FLAIR MR image.
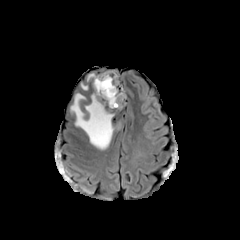
T1-weighted MRI.
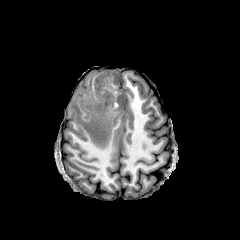
Post-contrast T1-weighted MRI.
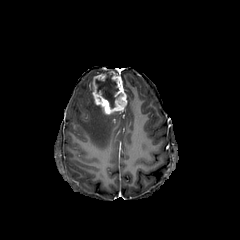
T2-weighted MRI.
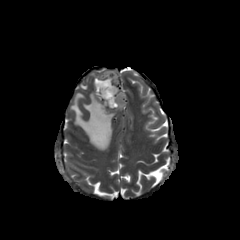
240x240 px | Axial slice
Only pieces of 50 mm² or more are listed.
{
  "peritumoral_edema": [
    "box=[70, 93, 114, 150]"
  ],
  "necrotic_tumor_core": [
    "box=[95, 73, 121, 108]"
  ],
  "enhancing_tumor": [
    "box=[92, 71, 126, 114]"
  ]
}